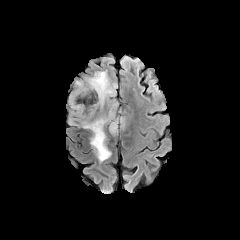
FLAIR magnetic resonance.
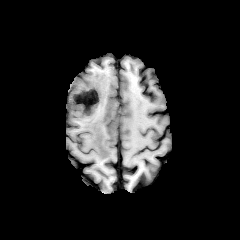
T1-weighted MR of the same slice.
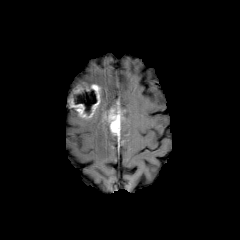
Post-contrast T1-weighted MRI.
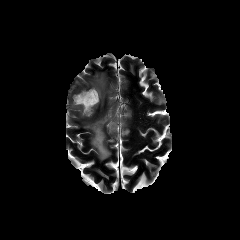
T2-weighted magnetic resonance.
Axial view
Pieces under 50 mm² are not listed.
Annotated regions:
- necrotic tumor core: region(73, 89, 96, 114)
- enhancing tumor: region(69, 84, 101, 119); region(102, 102, 131, 137)
- peritumoral edema: region(83, 117, 111, 161); region(76, 72, 115, 104)